FLAIR MRI.
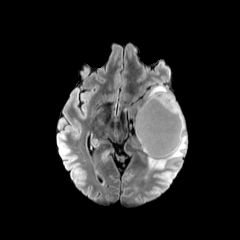
T1-weighted MR image.
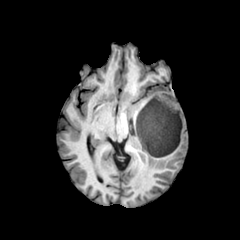
Post-contrast T1-weighted MRI.
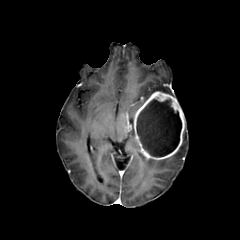
T2-weighted MRI.
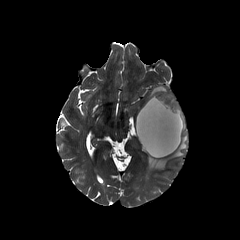
240x240 px
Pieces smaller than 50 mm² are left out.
Findings:
• necrotic tumor core: 136, 99, 181, 157
• peritumoral edema: 147, 121, 187, 169; 144, 84, 174, 102
• enhancing tumor: 134, 91, 184, 160